Slice 109 of 155.
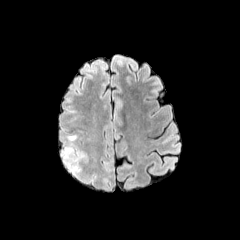
FLAIR MRI.
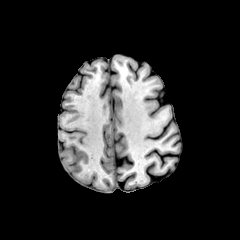
T1-weighted magnetic resonance.
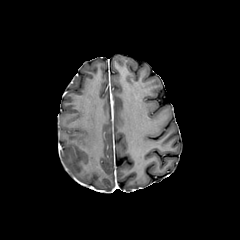
Post-contrast T1-weighted MR.
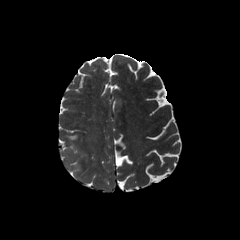
T2-weighted MR.
peritumoral edema: bounding box <box>67,135,77,142</box>, <box>61,147,88,171</box>